240x240 px, Axial view, Head
FLAIR magnetic resonance.
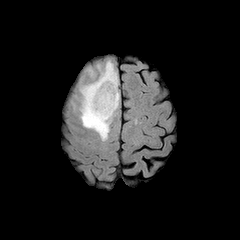
T1-weighted MRI.
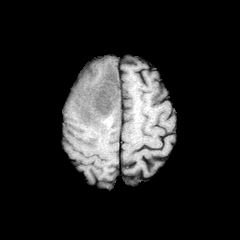
Post-contrast T1-weighted magnetic resonance.
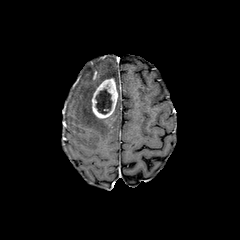
T2-weighted MRI.
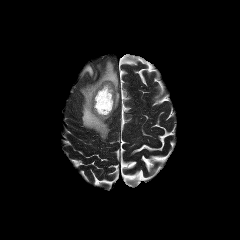
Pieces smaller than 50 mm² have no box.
{"peritumoral_edema": [{"x1": 80, "y1": 61, "x2": 118, "y2": 140}, {"x1": 85, "y1": 67, "x2": 93, "y2": 76}], "enhancing_tumor": [{"x1": 92, "y1": 78, "x2": 118, "y2": 118}], "necrotic_tumor_core": [{"x1": 95, "y1": 89, "x2": 112, "y2": 114}]}